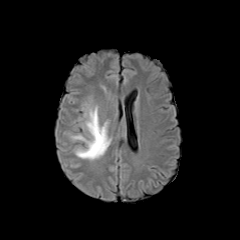
FLAIR MRI.
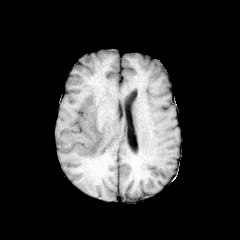
T1-weighted MR.
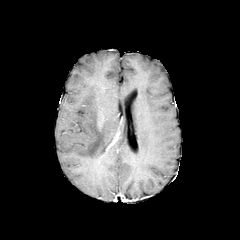
Post-contrast T1-weighted magnetic resonance of the same slice.
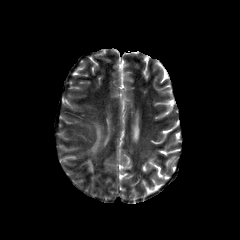
Same slice, T2-weighted magnetic resonance.
Head, Axial plane
Findings:
- peritumoral edema: 71:106:110:160